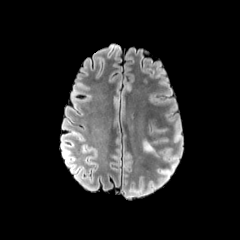
FLAIR MR.
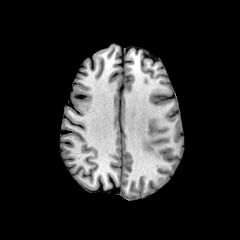
T1-weighted magnetic resonance.
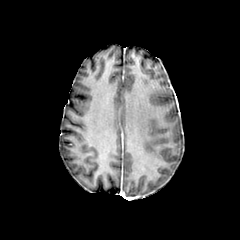
Post-contrast T1-weighted MR.
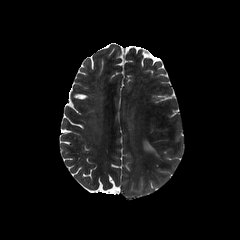
T2-weighted MR image.
{"peritumoral_edema": ["[143, 140, 157, 156]"]}